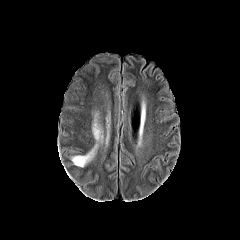
FLAIR MR image.
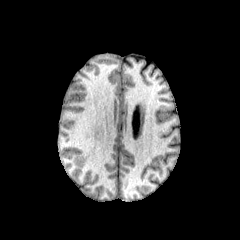
Same slice, T1-weighted MRI.
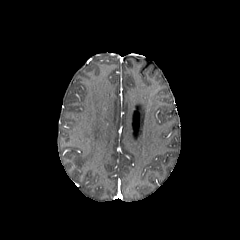
Post-contrast T1-weighted MRI of the same slice.
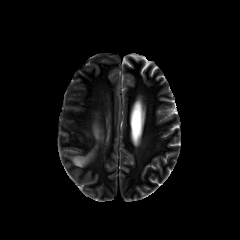
T2-weighted MRI.
Axial plane
<segmentation>
  <peritumoral_edema>91,119,100,139; 69,143,100,167</peritumoral_edema>
</segmentation>